240x240 px, Brain
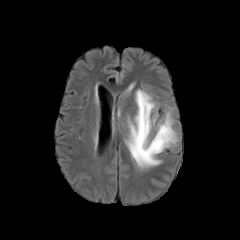
FLAIR MR image.
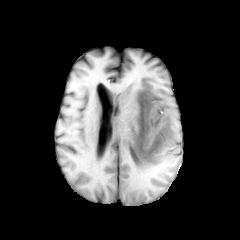
Same slice, T1-weighted MR image.
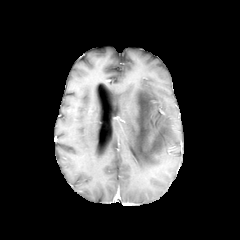
Post-contrast T1-weighted MRI.
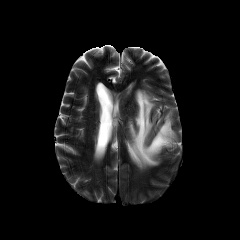
T2-weighted MR image of the same slice.
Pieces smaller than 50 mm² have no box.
peritumoral edema — rect(125, 89, 177, 169)